Slice 67/155, Brain, Image size 240x240, Image width 240 mm
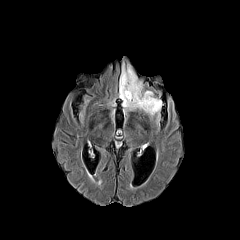
FLAIR magnetic resonance.
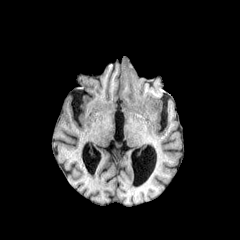
T1-weighted MR image of the same slice.
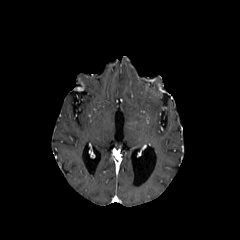
Post-contrast T1-weighted magnetic resonance.
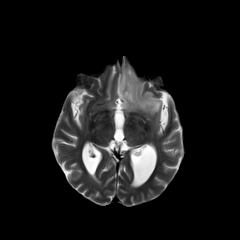
T2-weighted magnetic resonance of the same slice.
peritumoral edema = box(119, 62, 162, 122)